Head
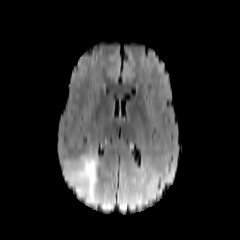
FLAIR MRI.
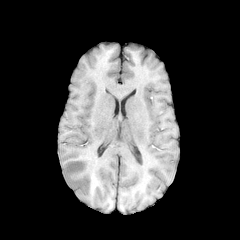
Same slice, T1-weighted MRI.
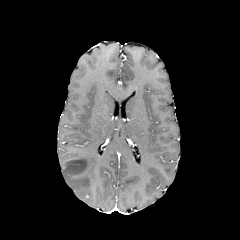
Same slice, post-contrast T1-weighted MR.
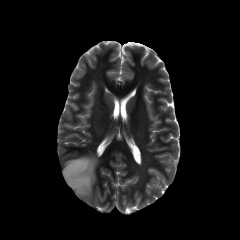
T2-weighted magnetic resonance.
The peritumoral edema is at 63, 153, 98, 202.